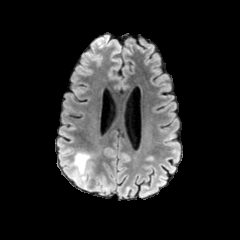
FLAIR MR image.
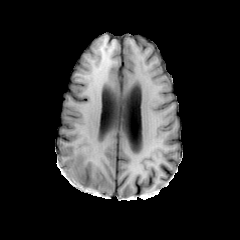
T1-weighted MR image.
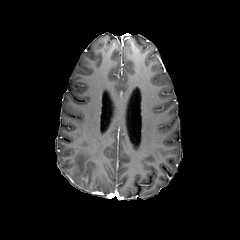
Post-contrast T1-weighted MR.
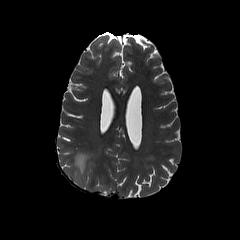
T2-weighted MRI.
Brain | 240x240
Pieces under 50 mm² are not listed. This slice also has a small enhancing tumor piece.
Segmented structures:
• peritumoral edema: [x1=69, y1=151, x2=91, y2=189]